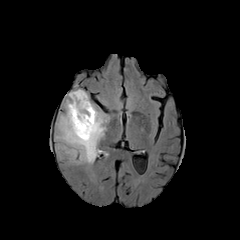
FLAIR magnetic resonance.
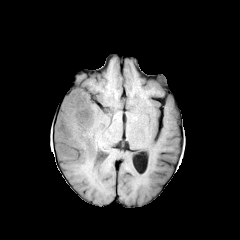
T1-weighted MRI of the same slice.
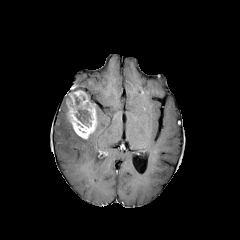
Post-contrast T1-weighted MRI.
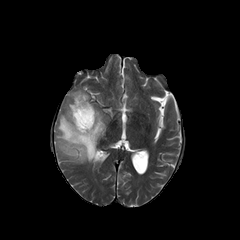
T2-weighted magnetic resonance.
Axial plane
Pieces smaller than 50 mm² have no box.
The largest necrotic tumor core region appears at 75,109,90,123. The peritumoral edema appears at 55,103,108,163. The enhancing tumor lies within 66,90,97,139.